Slice 99 of 155. Head.
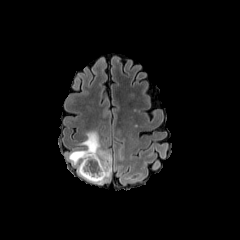
FLAIR magnetic resonance.
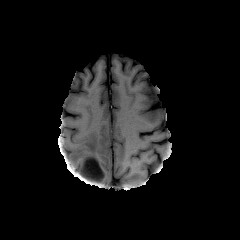
T1-weighted MR of the same slice.
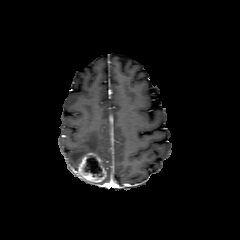
Post-contrast T1-weighted MR image of the same slice.
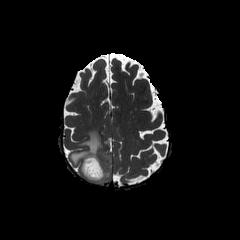
T2-weighted MR image of the same slice.
The enhancing tumor lies within [x1=77, y1=152, x2=106, y2=182]. The necrotic tumor core appears at [x1=83, y1=155, x2=102, y2=176]. The peritumoral edema lies within [x1=69, y1=131, x2=111, y2=184].